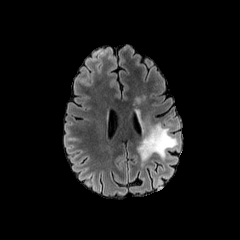
FLAIR MR.
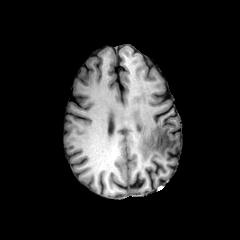
Same slice, T1-weighted magnetic resonance.
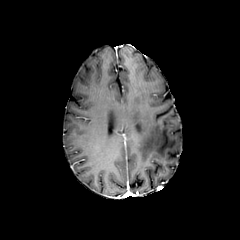
Post-contrast T1-weighted magnetic resonance of the same slice.
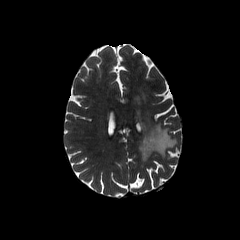
Same slice, T2-weighted MR image.
Axial slice; Brain
The peritumoral edema is bounded by [138,123,177,161].